Brain. Image size 240x240. Slice 81/155. Image covers 240 mm x 240 mm.
FLAIR MR.
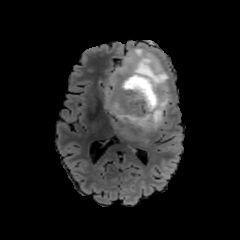
T1-weighted MR image.
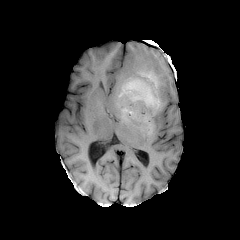
Post-contrast T1-weighted MRI.
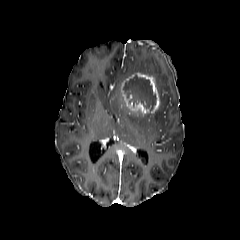
T2-weighted MR.
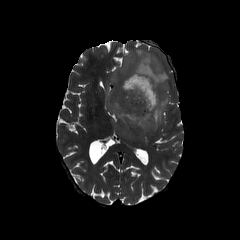
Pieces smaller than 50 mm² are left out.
{"peritumoral_edema": ["x1=102, y1=48, x2=171, y2=141"], "enhancing_tumor": ["x1=120, y1=72, x2=159, y2=113"], "necrotic_tumor_core": ["x1=124, y1=76, x2=156, y2=109"]}